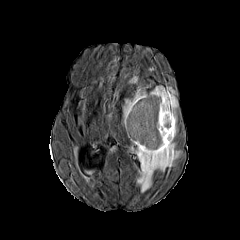
FLAIR MR image.
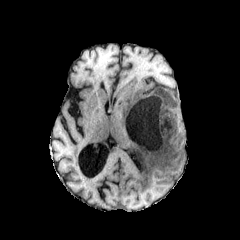
T1-weighted MRI.
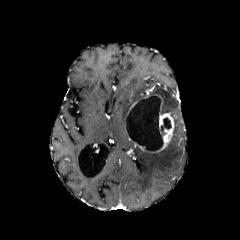
Post-contrast T1-weighted magnetic resonance.
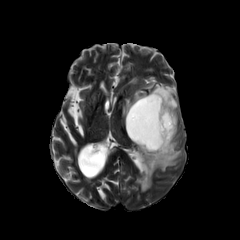
T2-weighted MRI.
Axial view | Head
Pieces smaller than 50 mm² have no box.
The 2 largest peritumoral edema regions are bounded by [123,87,145,123], [134,86,181,192]. The largest enhancing tumor region is located at [133,94,174,153]. The largest necrotic tumor core region appears at [126,94,171,151].